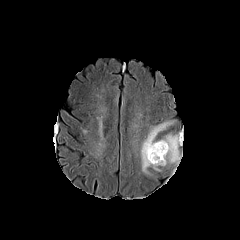
FLAIR MR.
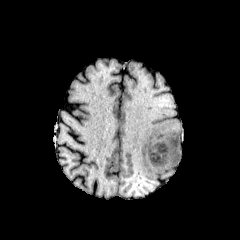
T1-weighted MR.
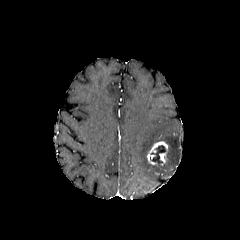
Post-contrast T1-weighted magnetic resonance.
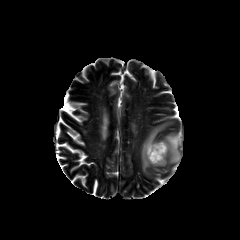
T2-weighted magnetic resonance.
Brain
<segmentation>
  <peritumoral_edema>[140,122,172,173], [160,131,183,165]</peritumoral_edema>
  <enhancing_tumor>[147,141,168,165]</enhancing_tumor>
  <necrotic_tumor_core>[151,145,165,164]</necrotic_tumor_core>
</segmentation>